FLAIR MR.
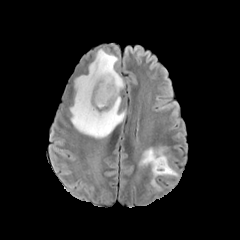
T1-weighted MR image.
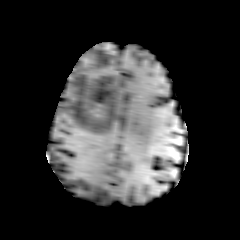
Post-contrast T1-weighted magnetic resonance.
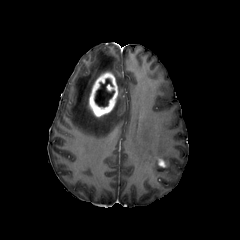
T2-weighted MR.
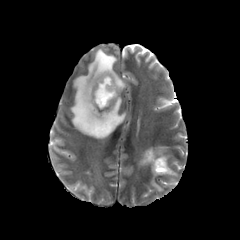
Axial slice | Head
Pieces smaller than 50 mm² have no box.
peritumoral edema = rect(70, 49, 125, 138); rect(139, 146, 177, 189)
enhancing tumor = rect(157, 158, 166, 167); rect(88, 72, 118, 117)
necrotic tumor core = rect(95, 79, 114, 107)